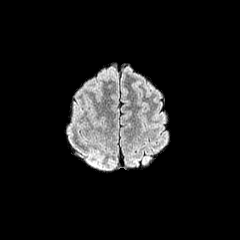
FLAIR MR image.
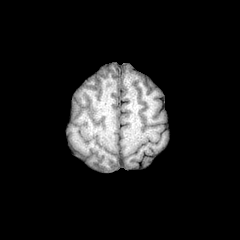
Same slice, T1-weighted MR.
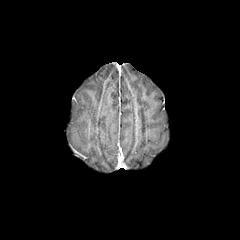
Post-contrast T1-weighted MR image.
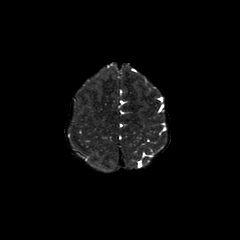
T2-weighted MRI.
Brain; Image size 240x240; Axial slice
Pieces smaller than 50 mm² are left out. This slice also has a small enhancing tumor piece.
peritumoral_edema:
  - [x1=85, y1=72, x2=108, y2=91]